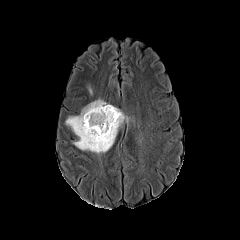
FLAIR magnetic resonance.
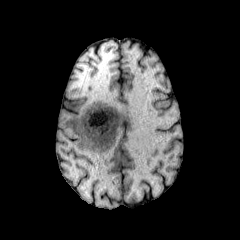
Same slice, T1-weighted magnetic resonance.
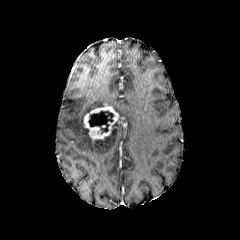
Same slice, post-contrast T1-weighted MR image.
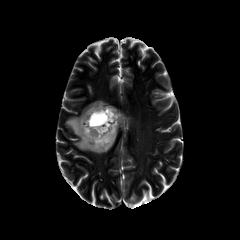
T2-weighted MR image.
Brain
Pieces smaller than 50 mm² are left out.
The largest peritumoral edema region lies within bbox(65, 99, 124, 154). The largest necrotic tumor core region lies within bbox(88, 110, 114, 134). The largest enhancing tumor region is located at bbox(83, 105, 121, 141).